Head
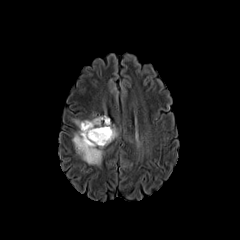
FLAIR MR image.
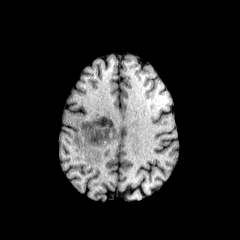
T1-weighted MR image.
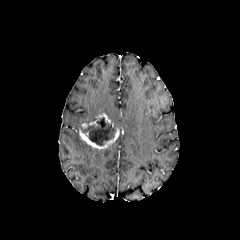
Same slice, post-contrast T1-weighted MR.
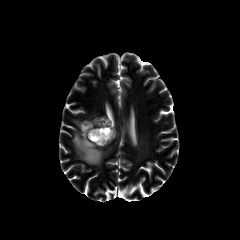
Same slice, T2-weighted magnetic resonance.
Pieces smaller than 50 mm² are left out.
necrotic tumor core: <box>81,117,115,145</box>
peritumoral edema: <box>73,115,96,128</box>, <box>72,131,103,165</box>
enhancing tumor: <box>81,114,110,128</box>, <box>79,128,119,149</box>